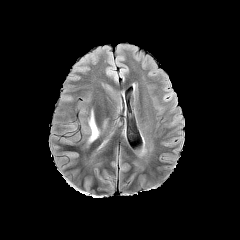
FLAIR magnetic resonance.
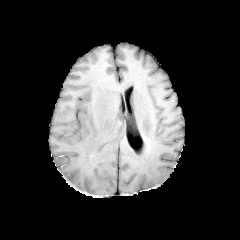
T1-weighted MR image.
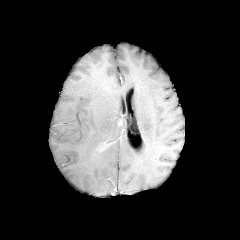
Same slice, post-contrast T1-weighted MR.
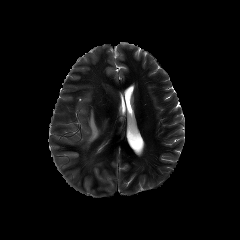
Same slice, T2-weighted MR.
240x240; Axial slice; Head
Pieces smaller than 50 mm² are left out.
Findings:
- peritumoral edema: (left=87, top=110, right=100, bottom=143)